Axial slice; 240x240 px; Image width 240 mm
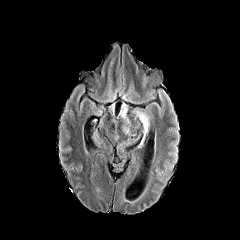
FLAIR magnetic resonance.
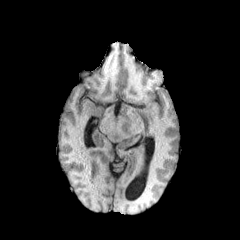
Same slice, T1-weighted magnetic resonance.
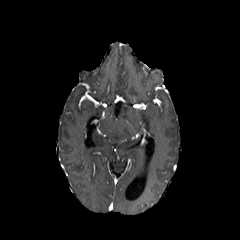
Post-contrast T1-weighted MR.
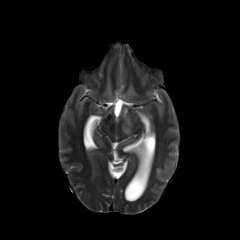
T2-weighted MR of the same slice.
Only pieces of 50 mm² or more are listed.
peritumoral edema = <box>120,106,129,123</box>, <box>137,111,149,130</box>